Axial view
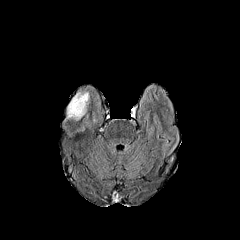
FLAIR MR image.
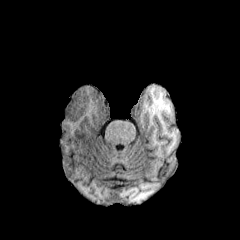
Same slice, T1-weighted MRI.
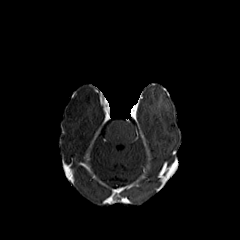
Post-contrast T1-weighted MRI.
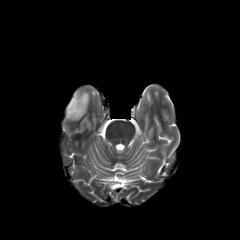
Same slice, T2-weighted magnetic resonance.
peritumoral_edema:
  - l=66, t=92, r=89, b=120